Head | Slice 33/155 | Image width 240 mm, 1.00 mm slice spacing | Axial plane
FLAIR MRI.
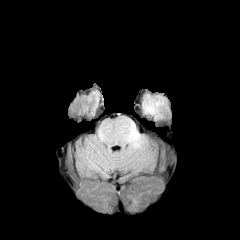
T1-weighted MRI.
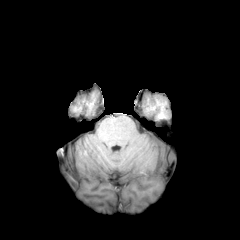
Post-contrast T1-weighted MR image.
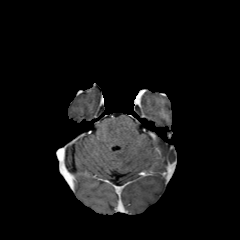
T2-weighted magnetic resonance.
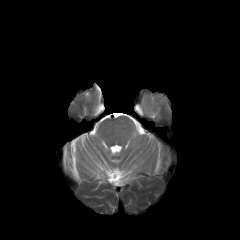
The peritumoral edema lies within left=143, top=101, right=159, bottom=114.